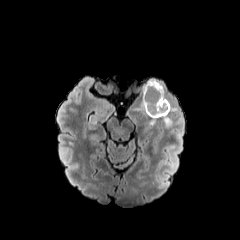
FLAIR MR.
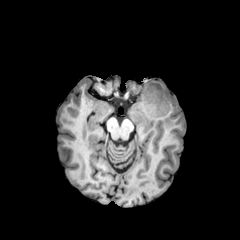
T1-weighted magnetic resonance.
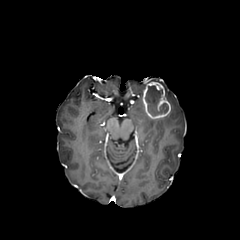
Post-contrast T1-weighted MR image.
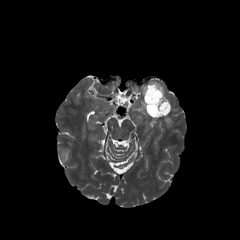
T2-weighted magnetic resonance.
240x240 px
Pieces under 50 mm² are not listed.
The 2 largest peritumoral edema regions appear at <bbox>142, 79, 162, 98</bbox>, <bbox>163, 115, 172, 126</bbox>. The enhancing tumor is located at <bbox>142, 81, 170, 118</bbox>. The necrotic tumor core is at <bbox>145, 85, 168, 115</bbox>.